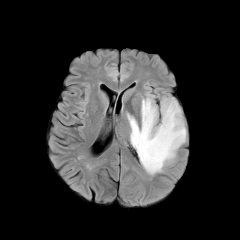
FLAIR magnetic resonance.
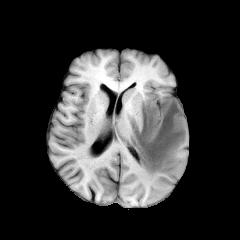
Same slice, T1-weighted MR.
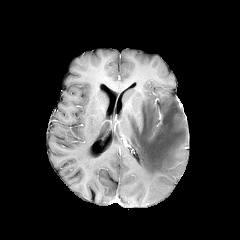
Post-contrast T1-weighted MRI.
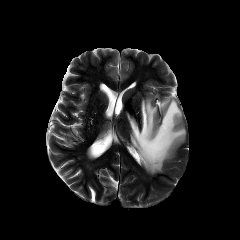
T2-weighted MR image.
Axial plane
{"peritumoral_edema": ["<bbox>127, 96, 186, 175</bbox>"]}